FLAIR magnetic resonance.
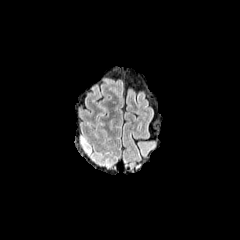
T1-weighted MR.
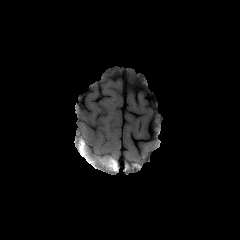
Post-contrast T1-weighted MRI.
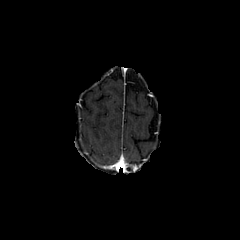
T2-weighted MRI.
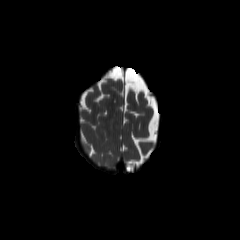
Image size 240x240.
peritumoral edema at <box>80,135,86,144</box>